240x240, Slice 119/155
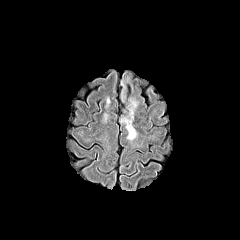
FLAIR MR.
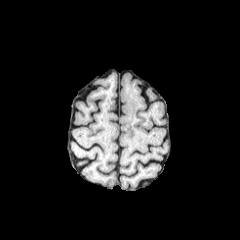
T1-weighted MR.
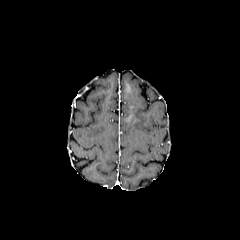
Same slice, post-contrast T1-weighted MRI.
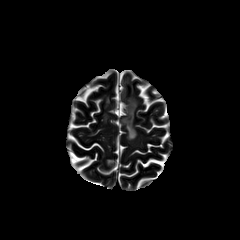
Same slice, T2-weighted MRI.
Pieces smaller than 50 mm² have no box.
{
  "peritumoral_edema": [
    "(x1=120, y1=71, x2=137, y2=140)"
  ]
}